FLAIR MR.
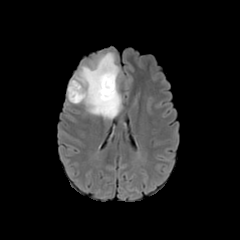
T1-weighted MR.
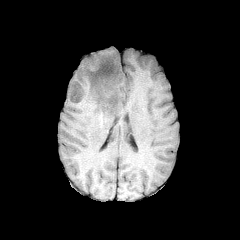
Post-contrast T1-weighted MR.
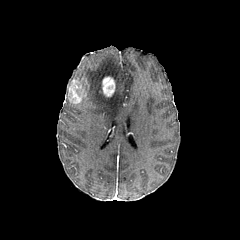
T2-weighted MR.
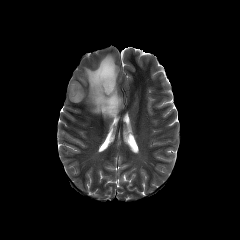
Axial plane.
peritumoral edema at 75 53 121 118
enhancing tumor at 102 76 115 96, 68 79 86 103